Brain. Axial slice. Image size 240x240.
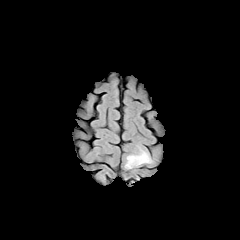
FLAIR MRI.
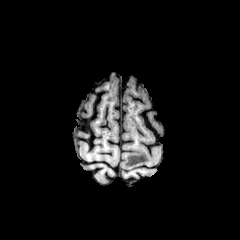
T1-weighted magnetic resonance.
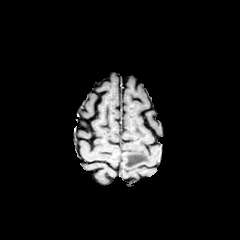
Post-contrast T1-weighted MR image.
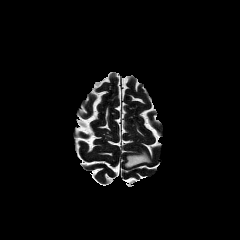
Same slice, T2-weighted MRI.
The peritumoral edema lies within region(125, 150, 151, 168).